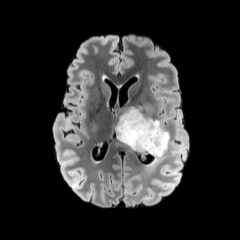
FLAIR MR image.
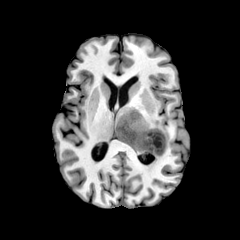
Same slice, T1-weighted magnetic resonance.
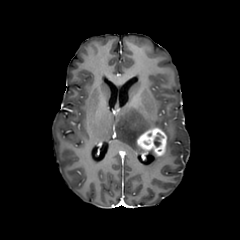
Same slice, post-contrast T1-weighted MRI.
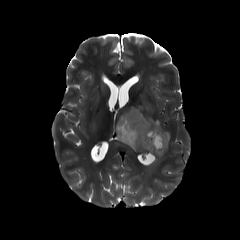
T2-weighted magnetic resonance.
240x240, Brain
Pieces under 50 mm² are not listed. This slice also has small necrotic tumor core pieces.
peritumoral edema — left=148, top=151, right=164, bottom=165; left=116, top=107, right=169, bottom=153
enhancing tumor — left=137, top=127, right=167, bottom=155